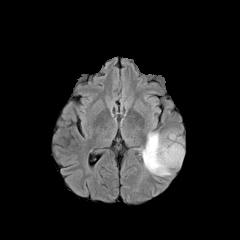
FLAIR MRI.
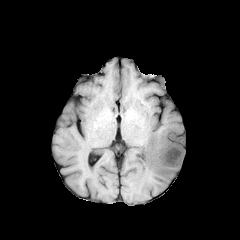
T1-weighted MR.
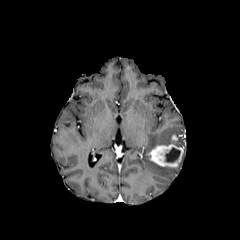
Post-contrast T1-weighted MR of the same slice.
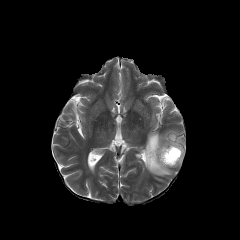
T2-weighted MR image.
Axial view | Head
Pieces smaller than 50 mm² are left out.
Findings:
* enhancing tumor: {"x1": 147, "y1": 134, "x2": 183, "y2": 167}
* necrotic tumor core: {"x1": 165, "y1": 147, "x2": 180, "y2": 162}
* peritumoral edema: {"x1": 142, "y1": 132, "x2": 176, "y2": 176}